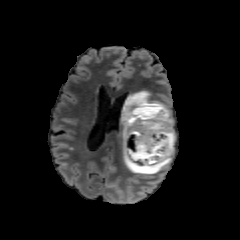
FLAIR magnetic resonance.
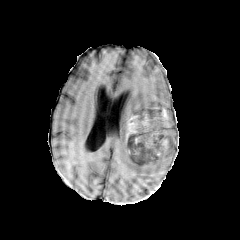
T1-weighted magnetic resonance of the same slice.
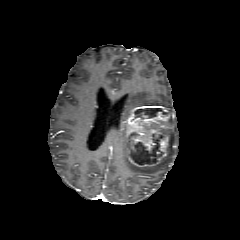
Post-contrast T1-weighted MR image of the same slice.
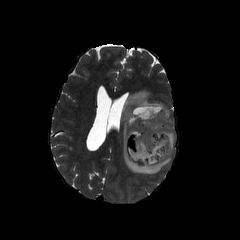
Same slice, T2-weighted magnetic resonance.
Axial view.
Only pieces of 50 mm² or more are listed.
- enhancing tumor: x1=125 y1=105 x2=171 y2=168
- necrotic tumor core: x1=128 y1=132 x2=164 y2=165, x1=131 y1=108 x2=167 y2=121
- peritumoral edema: x1=121 y1=90 x2=175 y2=175